Image width 240 mm.
FLAIR MR.
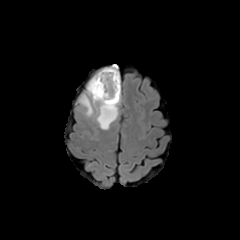
T1-weighted magnetic resonance.
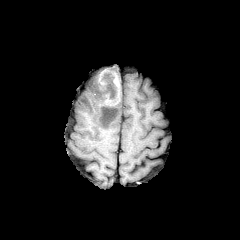
Post-contrast T1-weighted MR.
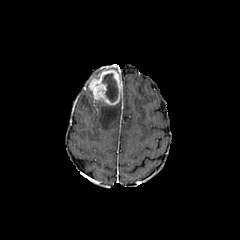
T2-weighted MR image.
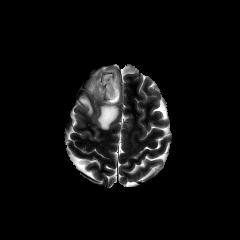
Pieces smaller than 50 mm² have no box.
The enhancing tumor is bounded by 88,67,119,105. The necrotic tumor core is bounded by 102,74,118,102. The 2 largest peritumoral edema regions are bounded by 93,101,119,129; 79,95,93,116.